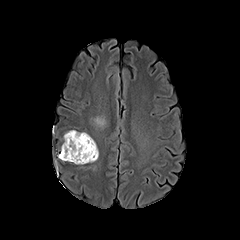
FLAIR MR image.
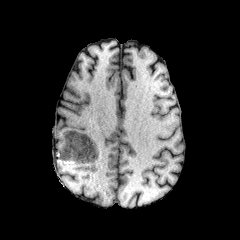
T1-weighted MR.
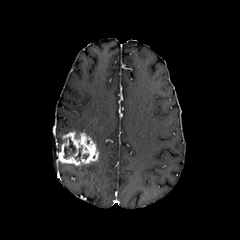
Same slice, post-contrast T1-weighted MR.
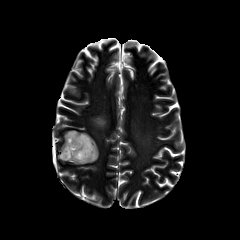
T2-weighted MRI of the same slice.
Head
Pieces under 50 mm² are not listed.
The largest necrotic tumor core region is bounded by bbox=[64, 138, 75, 158]. The largest peritumoral edema region is located at bbox=[91, 116, 106, 128]. The enhancing tumor lies within bbox=[58, 131, 98, 165].